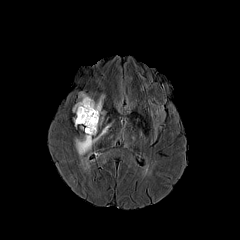
FLAIR MR image.
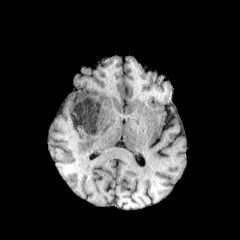
T1-weighted MR image.
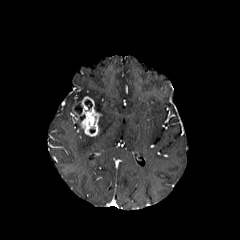
Post-contrast T1-weighted MR.
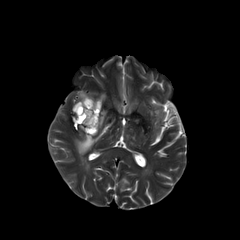
T2-weighted MR.
Head | Axial view | 240x240 px
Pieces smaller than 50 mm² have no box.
<segmentation>
  <peritumoral_edema>bbox(75, 124, 111, 157); bbox(95, 94, 104, 124)</peritumoral_edema>
  <necrotic_tumor_core>bbox(74, 103, 82, 114); bbox(85, 100, 92, 109)</necrotic_tumor_core>
  <enhancing_tumor>bbox(72, 96, 100, 136)</enhancing_tumor>
</segmentation>